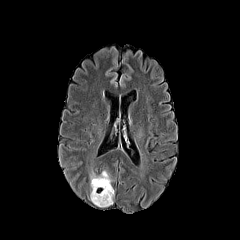
FLAIR magnetic resonance.
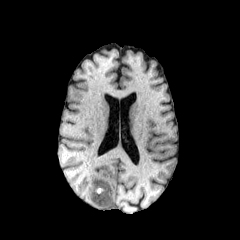
Same slice, T1-weighted magnetic resonance.
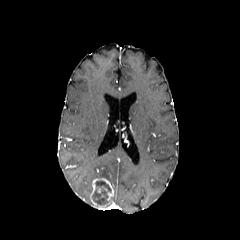
Same slice, post-contrast T1-weighted MR image.
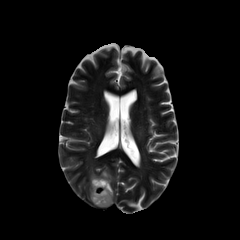
T2-weighted MR.
Head; 240x240
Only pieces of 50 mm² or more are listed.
<segmentation>
  <enhancing_tumor>region(90, 178, 113, 208)</enhancing_tumor>
  <necrotic_tumor_core>region(92, 181, 110, 204)</necrotic_tumor_core>
  <peritumoral_edema>region(90, 170, 111, 187)</peritumoral_edema>
</segmentation>